Axial plane
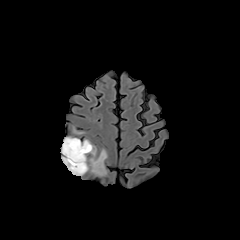
FLAIR MR.
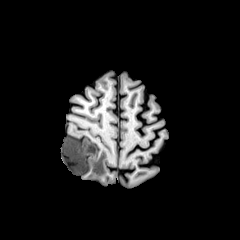
T1-weighted MR image.
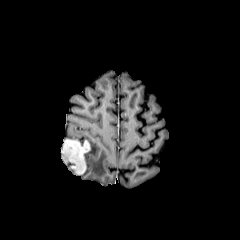
Post-contrast T1-weighted magnetic resonance.
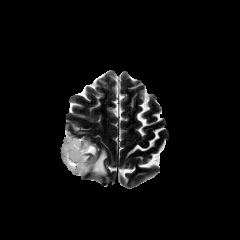
T2-weighted MR image of the same slice.
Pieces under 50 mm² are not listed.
Annotated regions:
• peritumoral edema: <box>61,154,83,175</box>, <box>63,136,83,145</box>, <box>84,139,107,176</box>
• enhancing tumor: <box>61,139,90,174</box>